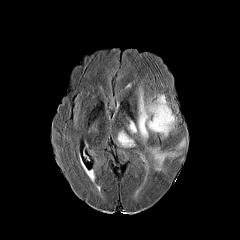
FLAIR magnetic resonance.
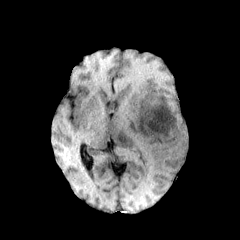
T1-weighted MRI.
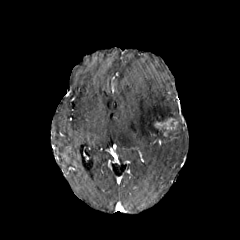
Post-contrast T1-weighted magnetic resonance.
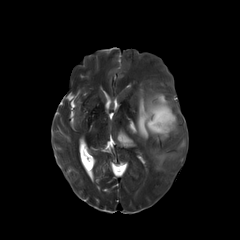
T2-weighted MRI of the same slice.
Head; 240x240 px
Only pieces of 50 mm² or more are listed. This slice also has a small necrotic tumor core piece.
enhancing_tumor:
  - 154, 118, 176, 135
peritumoral_edema:
  - 117, 130, 134, 147
  - 128, 89, 185, 170